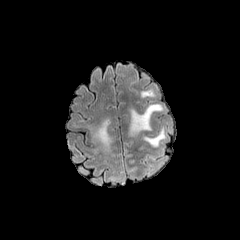
FLAIR MR.
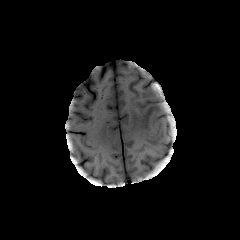
T1-weighted MRI.
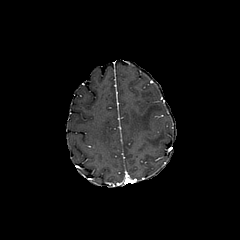
Post-contrast T1-weighted MR.
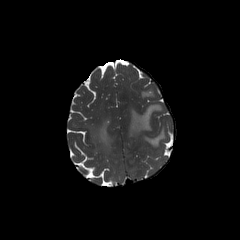
T2-weighted magnetic resonance.
240x240; Axial view; Head
{
  "peritumoral_edema": [
    "bbox(143, 127, 165, 147)",
    "bbox(141, 89, 154, 97)",
    "bbox(130, 104, 164, 135)",
    "bbox(91, 119, 112, 149)"
  ]
}